Head.
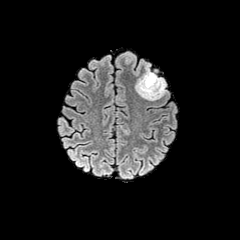
FLAIR magnetic resonance.
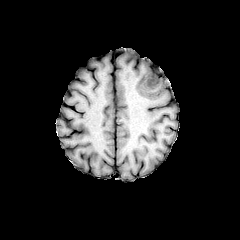
T1-weighted MR image of the same slice.
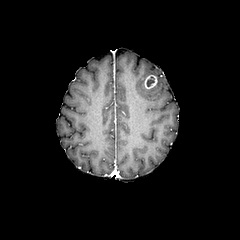
Post-contrast T1-weighted MR image.
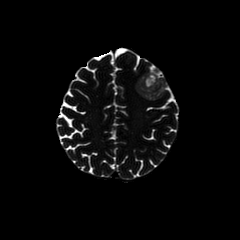
T2-weighted MRI of the same slice.
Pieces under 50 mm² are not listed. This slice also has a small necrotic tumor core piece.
enhancing_tumor:
  - (left=144, top=74, right=157, bottom=89)
peritumoral_edema:
  - (left=136, top=66, right=166, bottom=100)